FLAIR MR.
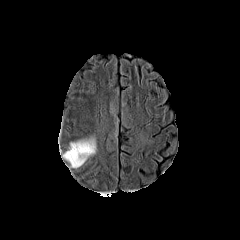
T1-weighted MR.
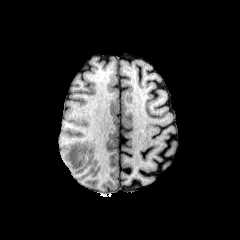
Post-contrast T1-weighted MR image.
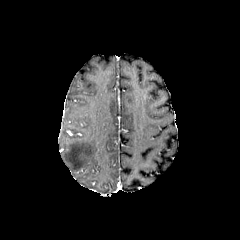
T2-weighted MR.
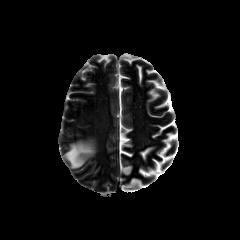
Axial plane. Head.
Findings:
• peritumoral edema: box=[63, 137, 95, 167]